Brain; Image covers 240 mm x 240 mm; Slice index 91; Axial plane
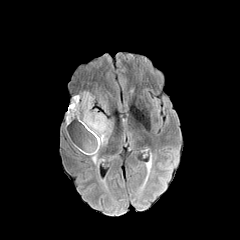
FLAIR magnetic resonance.
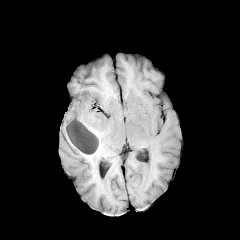
T1-weighted MR.
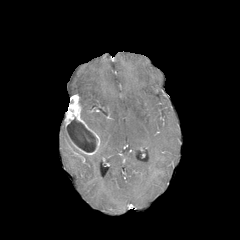
Same slice, post-contrast T1-weighted MR.
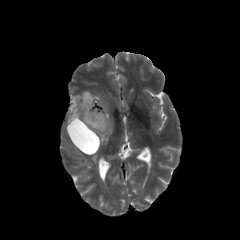
Same slice, T2-weighted MR image.
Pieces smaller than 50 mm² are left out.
necrotic tumor core — <bbox>67, 118, 97, 152</bbox>
enhancing tumor — <bbox>65, 95, 100, 154</bbox>
peritumoral edema — <bbox>78, 91, 112, 148</bbox>, <bbox>91, 152, 98, 163</bbox>